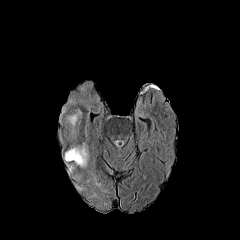
FLAIR MR image.
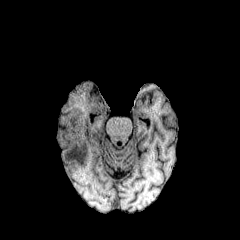
Same slice, T1-weighted MR.
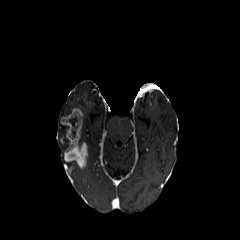
Post-contrast T1-weighted MR.
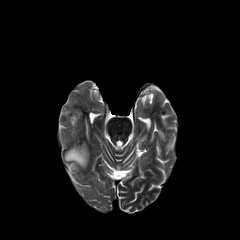
Same slice, T2-weighted magnetic resonance.
Axial slice | Brain
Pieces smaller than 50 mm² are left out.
enhancing_tumor:
  - box=[60, 108, 87, 167]
necrotic_tumor_core:
  - box=[68, 115, 78, 138]
peritumoral_edema:
  - box=[67, 161, 78, 173]